Axial plane. Image width 240 mm, 1.00 mm slice spacing. Slice index 40. Brain.
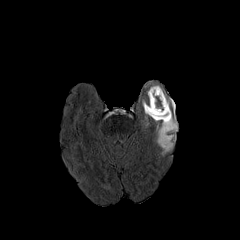
FLAIR magnetic resonance.
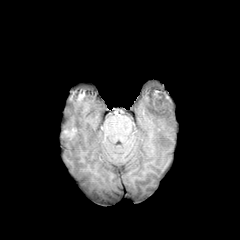
T1-weighted MRI.
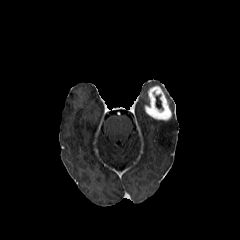
Post-contrast T1-weighted MRI of the same slice.
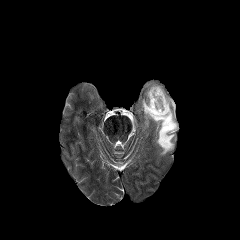
T2-weighted magnetic resonance.
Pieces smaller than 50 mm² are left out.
{"necrotic_tumor_core": ["(x1=155, y1=95, x2=162, y2=109)"], "peritumoral_edema": ["(x1=144, y1=109, x2=149, y2=126)", "(x1=165, y1=93, x2=173, y2=108)", "(x1=152, y1=115, x2=177, y2=155)"], "enhancing_tumor": ["(x1=144, y1=85, x2=171, y2=120)"]}